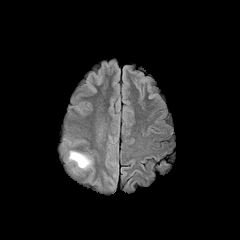
FLAIR MRI.
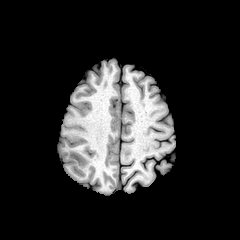
T1-weighted magnetic resonance.
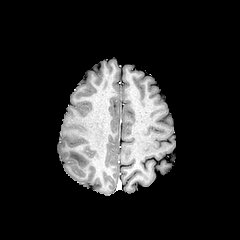
Same slice, post-contrast T1-weighted MR image.
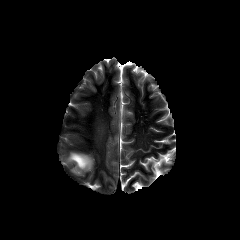
Same slice, T2-weighted magnetic resonance.
Axial view
peritumoral edema: bounding box [69,151,91,169]